Image size 240x240; Brain; Slice 84/155
FLAIR magnetic resonance.
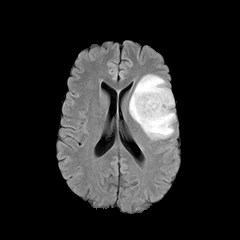
T1-weighted MR image.
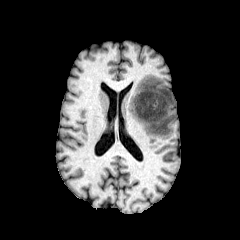
Post-contrast T1-weighted MRI.
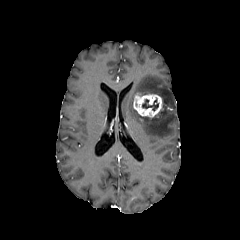
T2-weighted MR image.
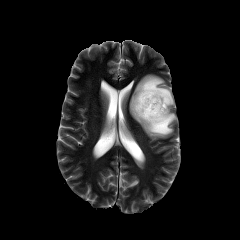
- necrotic tumor core: 142, 99, 158, 110
- peritumoral edema: 129, 74, 175, 139
- enhancing tumor: 133, 93, 164, 118